Brain. 240x240 px. Slice index 68.
FLAIR MR.
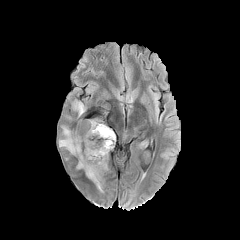
T1-weighted MRI.
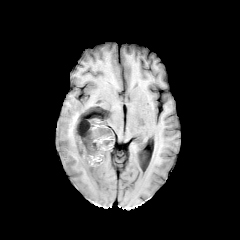
Post-contrast T1-weighted magnetic resonance.
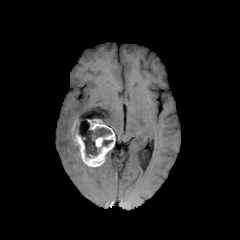
T2-weighted magnetic resonance.
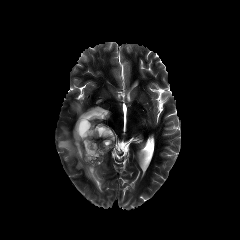
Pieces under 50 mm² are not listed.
necrotic tumor core at (78, 119, 111, 157), (102, 140, 112, 146)
enhancing tumor at (73, 118, 115, 167)
peritumoral edema at (58, 126, 106, 191), (66, 99, 84, 121)